FLAIR MR image.
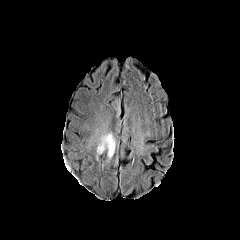
T1-weighted MR.
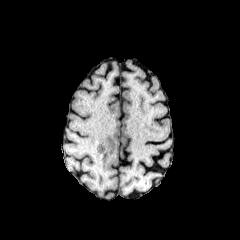
Post-contrast T1-weighted MRI.
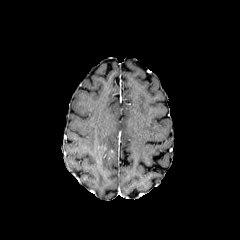
T2-weighted magnetic resonance.
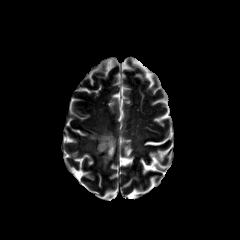
Head.
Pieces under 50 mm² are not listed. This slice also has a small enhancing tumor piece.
The peritumoral edema is at <box>97,133,115,158</box>.